Slice 92/155, Axial view
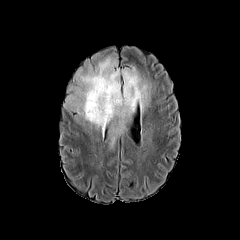
FLAIR MRI.
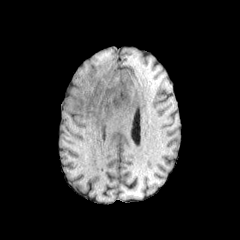
T1-weighted MRI.
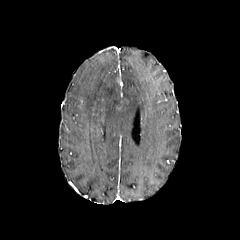
Same slice, post-contrast T1-weighted MR.
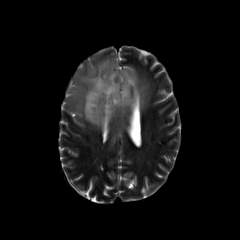
T2-weighted MR.
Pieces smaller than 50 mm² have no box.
peritumoral edema: 64, 57, 152, 127